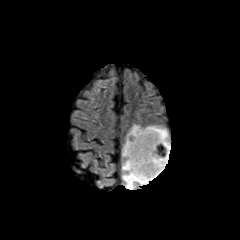
FLAIR MRI.
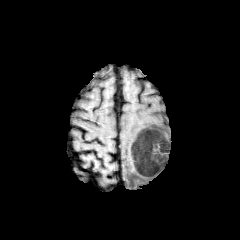
T1-weighted magnetic resonance.
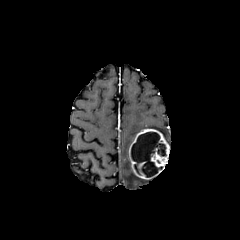
Post-contrast T1-weighted magnetic resonance.
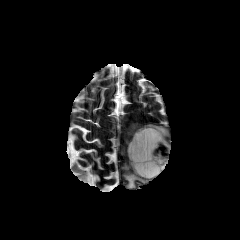
T2-weighted MR.
Axial plane
enhancing tumor = [x1=128, y1=128, x2=170, y2=179]
necrotic tumor core = [x1=131, y1=132, x2=165, y2=177]
peritumoral edema = [x1=122, y1=124, x2=169, y2=189]